Axial slice | Brain | Image size 240x240 | Image width 240 mm
FLAIR MR image.
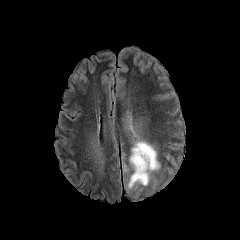
T1-weighted MR image.
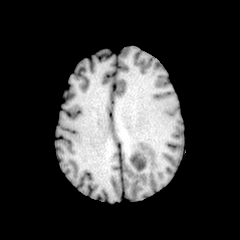
Post-contrast T1-weighted MR image.
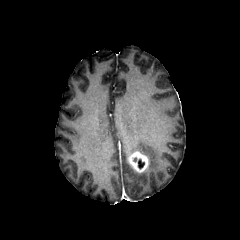
T2-weighted MR.
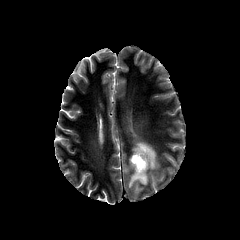
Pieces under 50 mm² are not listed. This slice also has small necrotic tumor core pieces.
The enhancing tumor lies within (128,151,148,173). The peritumoral edema lies within (128,141,159,188).